Slice index 102; 240x240 px; Head
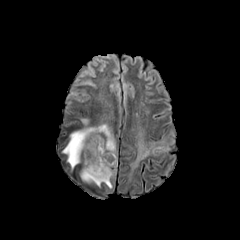
FLAIR magnetic resonance.
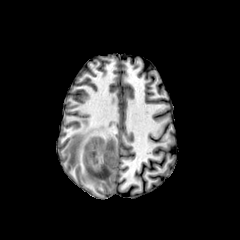
T1-weighted magnetic resonance.
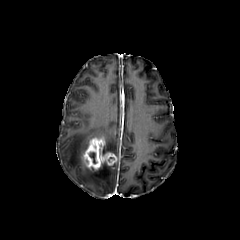
Post-contrast T1-weighted magnetic resonance.
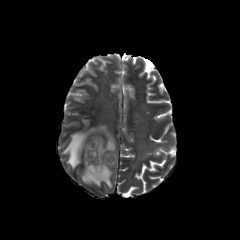
T2-weighted MR.
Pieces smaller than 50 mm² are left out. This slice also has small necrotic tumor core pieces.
Annotated regions:
• enhancing tumor: 83:136:117:170
• peritumoral edema: 81:162:117:188, 63:124:117:169